240x240 px.
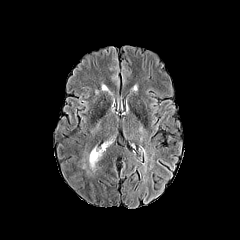
FLAIR magnetic resonance.
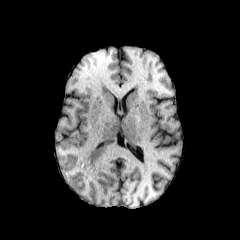
Same slice, T1-weighted magnetic resonance.
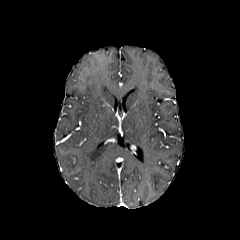
Post-contrast T1-weighted MR.
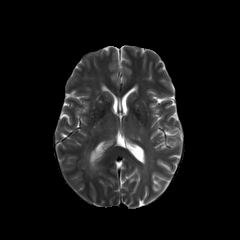
T2-weighted MR image of the same slice.
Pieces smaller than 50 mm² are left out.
peritumoral_edema:
  - 89:145:106:169